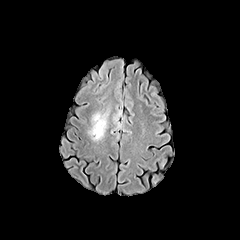
FLAIR magnetic resonance.
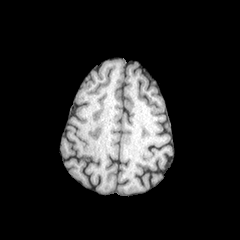
T1-weighted MR image.
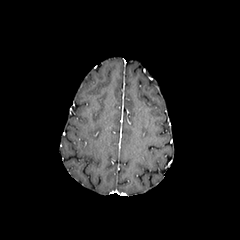
Post-contrast T1-weighted MR image.
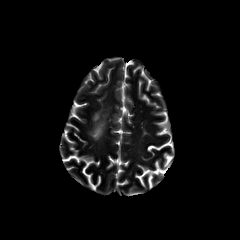
T2-weighted MR image of the same slice.
Image size 240x240
The peritumoral edema is located at <bbox>89, 113, 108, 140</bbox>.